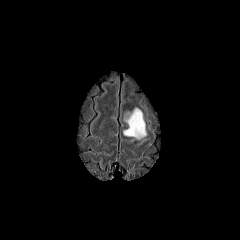
FLAIR MR image.
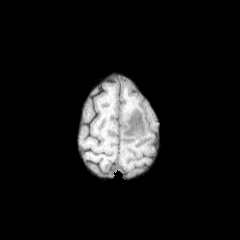
T1-weighted MR of the same slice.
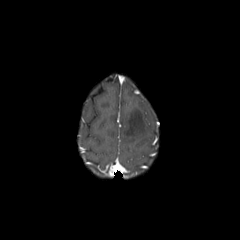
Post-contrast T1-weighted magnetic resonance of the same slice.
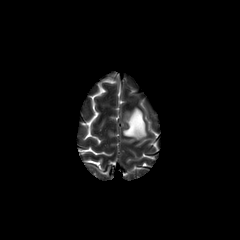
Same slice, T2-weighted MR image.
Findings:
- peritumoral edema: x1=123 y1=108 x2=146 y2=139